Slice 108 of 155 | Brain | 240x240
FLAIR MR image.
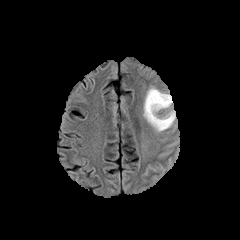
T1-weighted MRI.
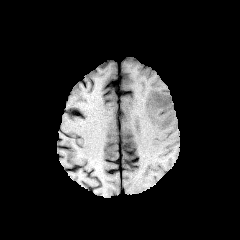
Post-contrast T1-weighted MR.
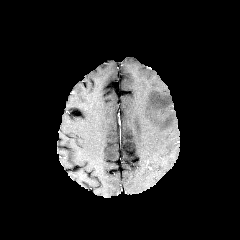
T2-weighted magnetic resonance.
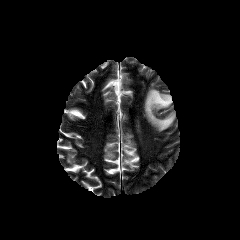
peritumoral edema at region(144, 87, 175, 131)